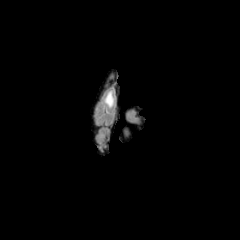
FLAIR MR.
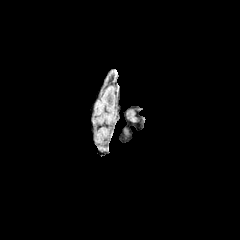
T1-weighted MR image.
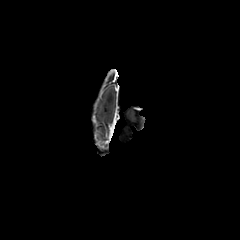
Same slice, post-contrast T1-weighted MRI.
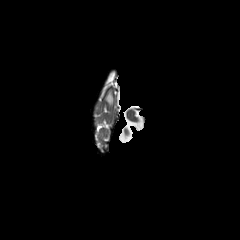
T2-weighted magnetic resonance.
240x240 | Head
Annotated regions:
* peritumoral edema: [105,91,113,107]